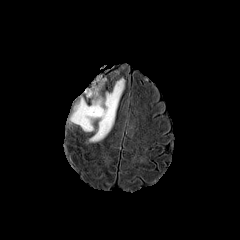
FLAIR MR.
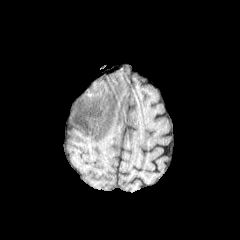
Same slice, T1-weighted MR.
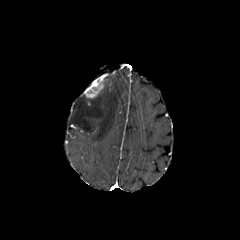
Post-contrast T1-weighted MR image.
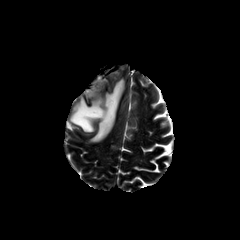
T2-weighted MR.
Image size 240x240, Brain
The enhancing tumor appears at [x1=84, y1=76, x2=104, y2=98]. The peritumoral edema is at [x1=70, y1=77, x2=125, y2=142].